Axial plane. Image covers 240 mm x 240 mm. Slice 58 of 155. Brain.
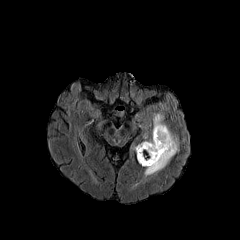
FLAIR MR image.
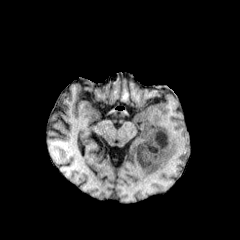
Same slice, T1-weighted MRI.
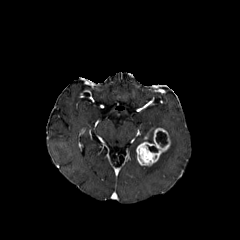
Post-contrast T1-weighted MR image.
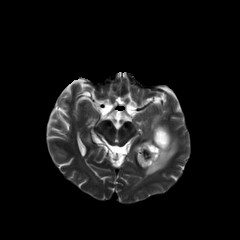
T2-weighted MRI.
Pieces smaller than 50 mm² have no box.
The largest peritumoral edema region appears at [142,112,179,178]. The enhancing tumor is bounded by [136,127,170,166]. The 2 largest necrotic tumor core regions are bounded by [147,145,158,152], [156,131,167,147].